Head
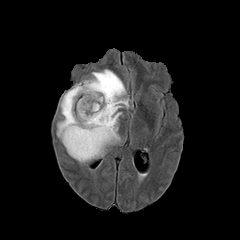
FLAIR magnetic resonance.
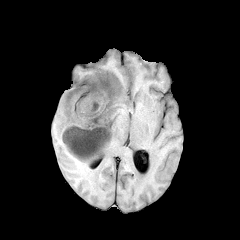
T1-weighted MRI.
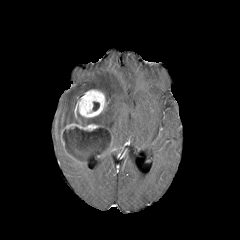
Same slice, post-contrast T1-weighted MR.
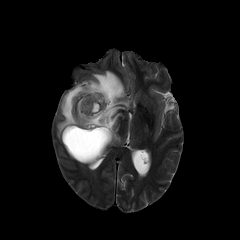
T2-weighted MR.
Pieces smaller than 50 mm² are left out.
peritumoral edema at [64,145,92,163], [57,69,129,154]
necrotic tumor core at [62,125,110,160], [92,102,99,111]
enhancing tumor at [64,122,100,131], [76,89,107,117]